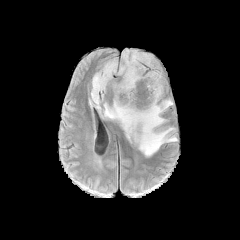
FLAIR MR.
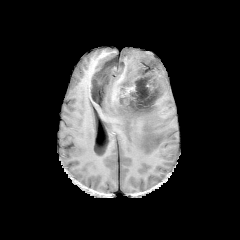
T1-weighted MR image.
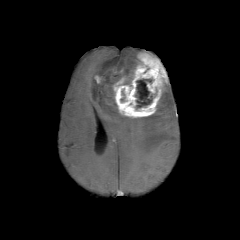
Same slice, post-contrast T1-weighted MRI.
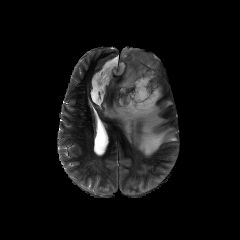
T2-weighted MRI of the same slice.
Head
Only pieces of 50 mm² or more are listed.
The peritumoral edema is at {"x1": 90, "y1": 49, "x2": 177, "y2": 156}. The largest necrotic tumor core region lies within {"x1": 135, "y1": 79, "x2": 152, "y2": 108}. 2 enhancing tumor regions are located at {"x1": 94, "y1": 75, "x2": 103, "y2": 83}, {"x1": 113, "y1": 52, "x2": 167, "y2": 117}.